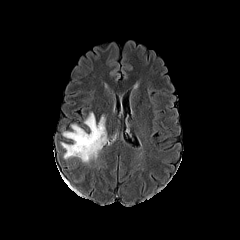
FLAIR magnetic resonance.
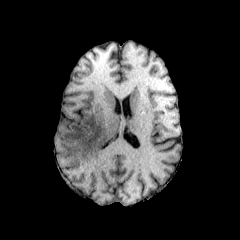
T1-weighted magnetic resonance.
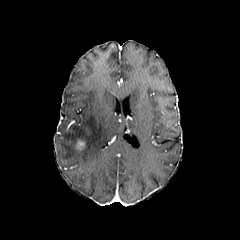
Post-contrast T1-weighted MR of the same slice.
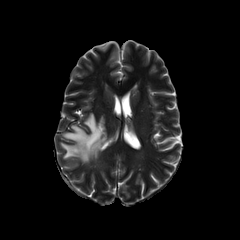
T2-weighted MR.
Axial plane; 240x240
The enhancing tumor is bounded by (76,140,85,150). The peritumoral edema is located at (60,112,107,163).